Axial plane; Slice index 52; Head
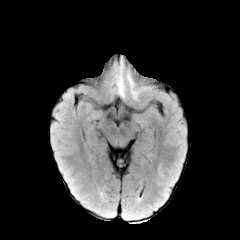
FLAIR magnetic resonance.
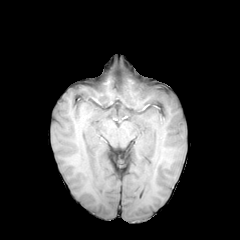
T1-weighted MR.
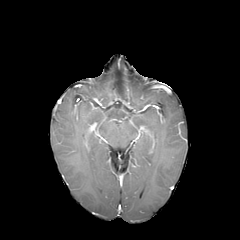
Post-contrast T1-weighted MRI.
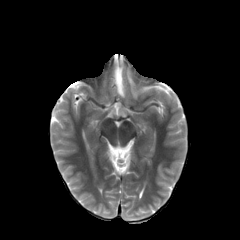
Same slice, T2-weighted magnetic resonance.
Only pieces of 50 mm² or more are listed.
peritumoral edema: left=115, top=67, right=124, bottom=96